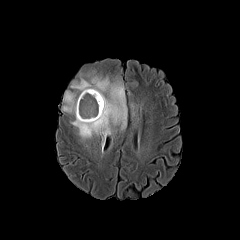
FLAIR MRI.
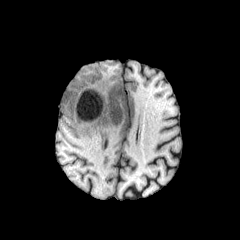
Same slice, T1-weighted MR image.
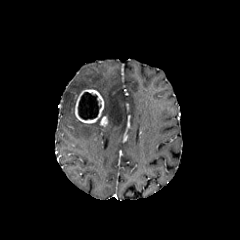
Post-contrast T1-weighted MRI.
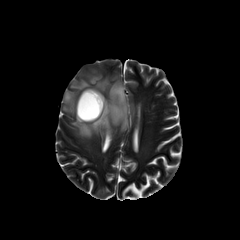
T2-weighted magnetic resonance.
Head, Axial view
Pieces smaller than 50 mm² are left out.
necrotic tumor core: 78 92 101 119 | peritumoral edema: 70 65 126 139, 62 91 76 115 | enhancing tumor: 75 89 104 123, 100 116 108 126